Image width 240 mm | Brain
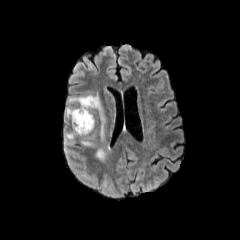
FLAIR MR.
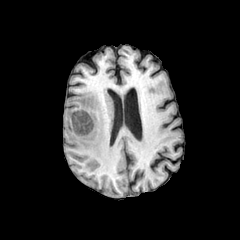
Same slice, T1-weighted MR.
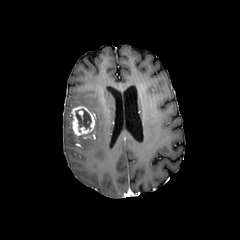
Post-contrast T1-weighted MRI.
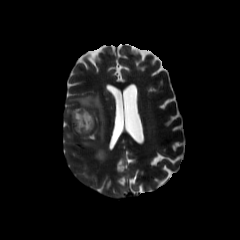
T2-weighted magnetic resonance of the same slice.
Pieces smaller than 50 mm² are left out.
{
  "necrotic_tumor_core": [
    "<box>75,109,91,129</box>"
  ],
  "enhancing_tumor": [
    "<box>71,106,95,138</box>"
  ],
  "peritumoral_edema": [
    "<box>65,106,72,122</box>",
    "<box>68,91,110,164</box>",
    "<box>64,130,77,152</box>"
  ]
}